FLAIR MR image.
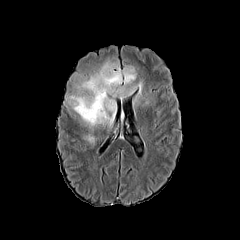
T1-weighted MR image.
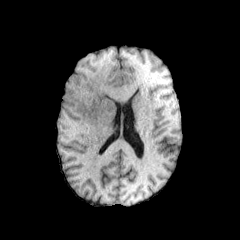
Post-contrast T1-weighted MR image.
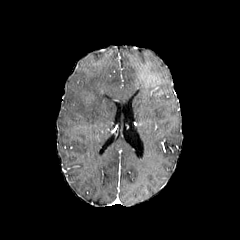
T2-weighted magnetic resonance.
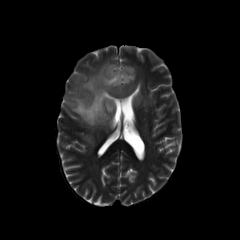
Image size 240x240
The peritumoral edema is bounded by [67,62,151,126].